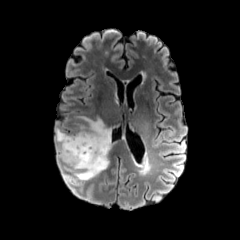
FLAIR magnetic resonance.
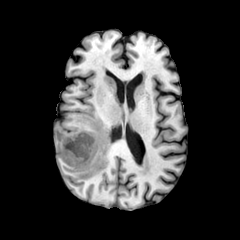
T1-weighted MR image.
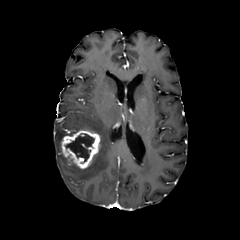
Post-contrast T1-weighted MR of the same slice.
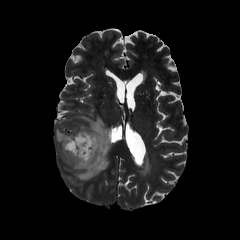
T2-weighted MRI.
Axial view | Brain
The necrotic tumor core appears at 65:133:94:161. The enhancing tumor lies within 61:130:100:168. The peritumoral edema is at 55:116:111:180.